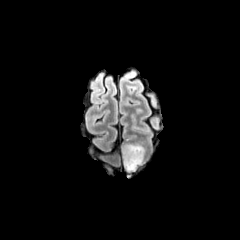
FLAIR magnetic resonance.
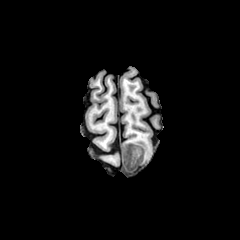
T1-weighted MR.
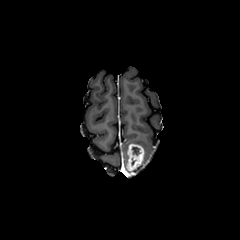
Same slice, post-contrast T1-weighted MRI.
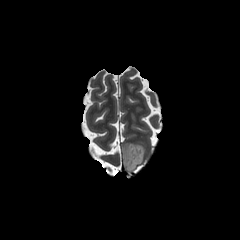
Same slice, T2-weighted MR image.
240x240 px, Head, Axial slice
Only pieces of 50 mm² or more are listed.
peritumoral_edema:
  - rect(122, 143, 130, 168)
necrotic_tumor_core:
  - rect(132, 147, 139, 154)
enhancing_tumor:
  - rect(124, 143, 144, 171)